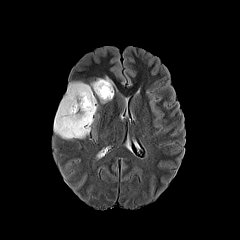
FLAIR MR image.
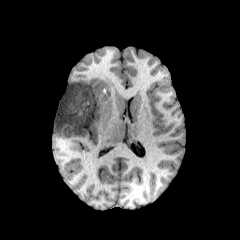
T1-weighted MRI.
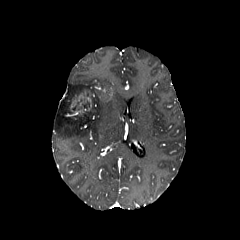
Post-contrast T1-weighted MR image of the same slice.
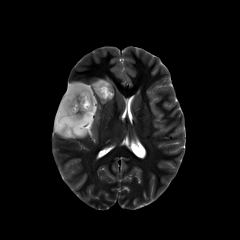
T2-weighted MRI of the same slice.
Head | Image size 240x240
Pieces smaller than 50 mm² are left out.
peritumoral edema = x1=54, y1=77, x2=113, y2=139
enhancing tumor = x1=70, y1=90, x2=94, y2=116; x1=94, y1=83, x2=112, y2=97
necrotic tumor core = x1=98, y1=90, x2=109, y2=98; x1=72, y1=96, x2=94, y2=132